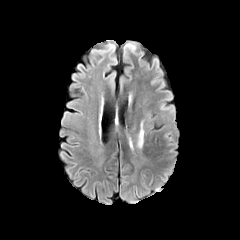
FLAIR magnetic resonance.
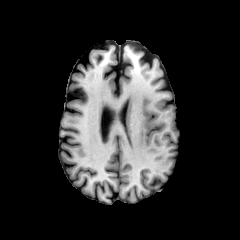
T1-weighted MR image of the same slice.
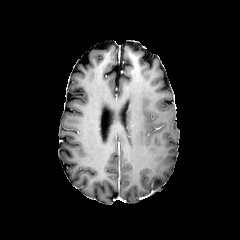
Post-contrast T1-weighted MR image.
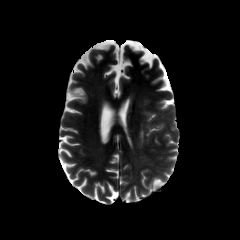
T2-weighted MR image.
240x240, Head
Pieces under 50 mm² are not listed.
Findings:
* peritumoral edema: (left=138, top=123, right=144, bottom=147)